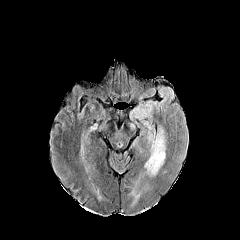
FLAIR magnetic resonance.
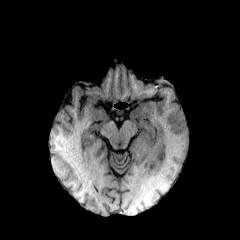
T1-weighted MR.
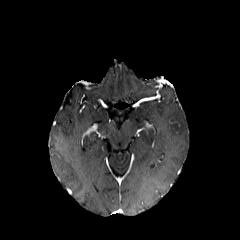
Post-contrast T1-weighted magnetic resonance of the same slice.
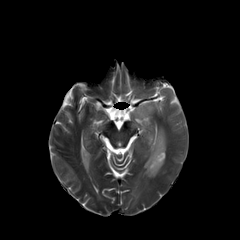
Same slice, T2-weighted MR.
Brain | Axial view
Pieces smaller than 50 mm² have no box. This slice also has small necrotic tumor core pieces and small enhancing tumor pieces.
peritumoral edema: <box>130,104,152,119</box>, <box>143,121,167,176</box>